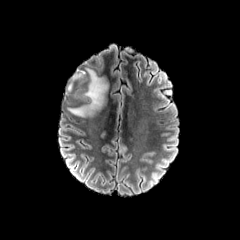
FLAIR MRI.
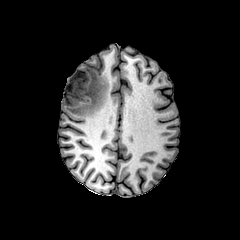
T1-weighted magnetic resonance of the same slice.
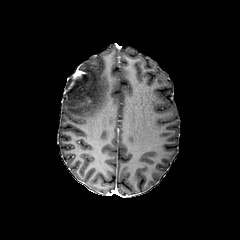
Post-contrast T1-weighted MRI.
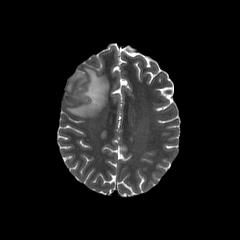
Same slice, T2-weighted MR.
Head
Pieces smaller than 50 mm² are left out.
enhancing_tumor:
  - 68:69:85:89
peritumoral_edema:
  - 67:68:108:117